FLAIR MR image.
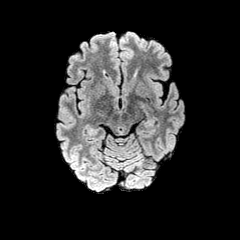
T1-weighted MR.
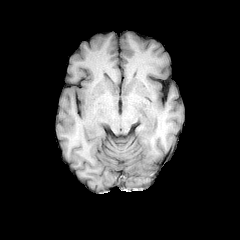
Post-contrast T1-weighted MR.
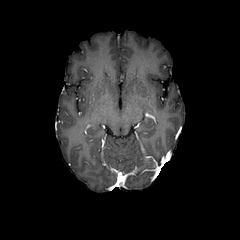
T2-weighted magnetic resonance.
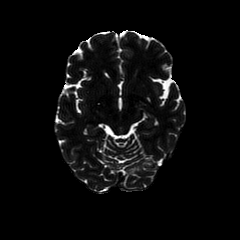
Axial plane
peritumoral edema = 120 37 132 56